240x240 px. Image covers 240 mm x 240 mm. Slice 69 of 155. Axial plane.
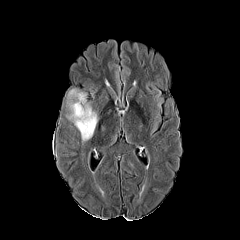
FLAIR MR.
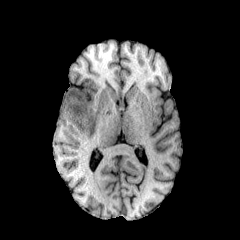
T1-weighted MR image of the same slice.
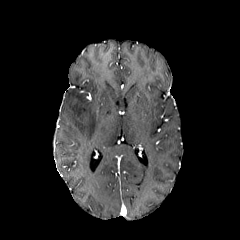
Post-contrast T1-weighted MR.
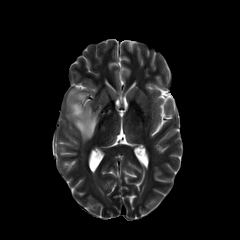
T2-weighted MR of the same slice.
<segmentation>
  <peritumoral_edema>66 87 99 141</peritumoral_edema>
</segmentation>